Head
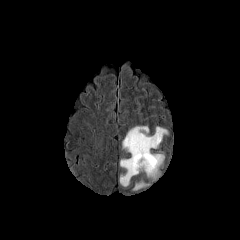
FLAIR MR.
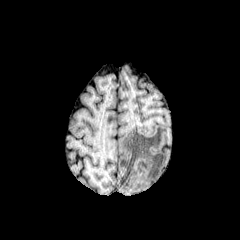
Same slice, T1-weighted MRI.
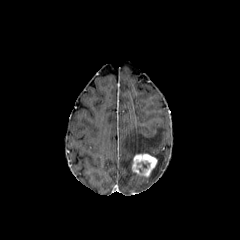
Post-contrast T1-weighted MR image.
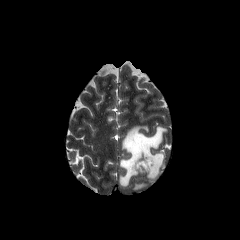
Same slice, T2-weighted MR.
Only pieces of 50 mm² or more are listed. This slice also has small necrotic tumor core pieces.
Segmented structures:
- enhancing tumor: bbox(131, 153, 157, 177)
- peritumoral edema: bbox(132, 179, 150, 190); bbox(119, 125, 168, 186)